Brain
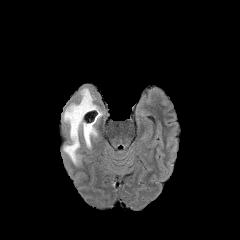
FLAIR MR.
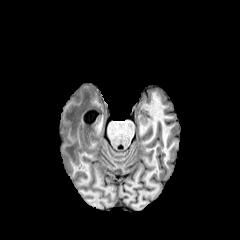
T1-weighted MRI.
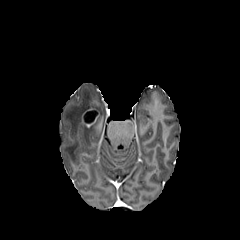
Post-contrast T1-weighted MR image.
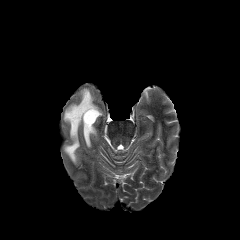
T2-weighted MR.
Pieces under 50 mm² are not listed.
enhancing tumor: (81, 108, 99, 127) | peritumoral edema: (63, 88, 102, 164)